Head
FLAIR magnetic resonance.
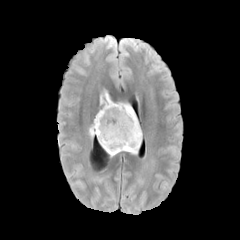
T1-weighted MR.
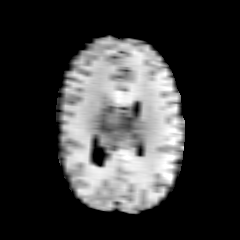
Post-contrast T1-weighted MR image.
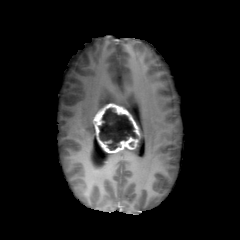
T2-weighted MR.
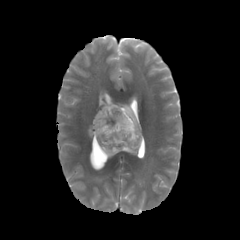
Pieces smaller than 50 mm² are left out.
Findings:
* peritumoral edema: left=88, top=124, right=95, bottom=137; left=122, top=128, right=142, bottom=154; left=100, top=90, right=138, bottom=125
* enhancing tumor: left=93, top=104, right=140, bottom=153
* necrotic tumor core: left=99, top=108, right=137, bottom=149